FLAIR magnetic resonance.
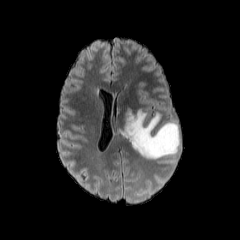
T1-weighted MRI.
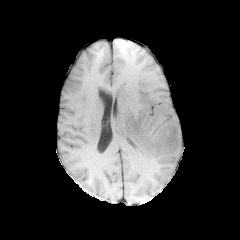
Post-contrast T1-weighted MRI.
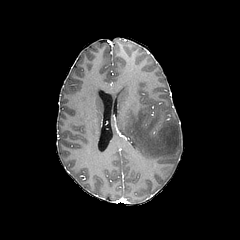
T2-weighted MRI.
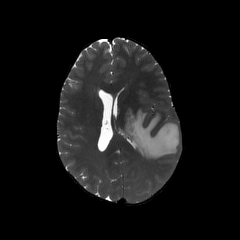
Brain, Axial plane, 240x240
Findings:
• peritumoral edema: <box>123,109,180,159</box>